240x240 px
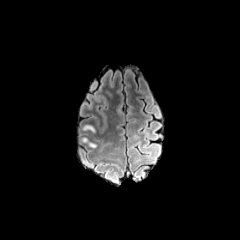
FLAIR MR image.
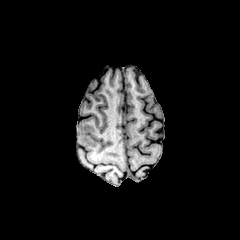
T1-weighted magnetic resonance of the same slice.
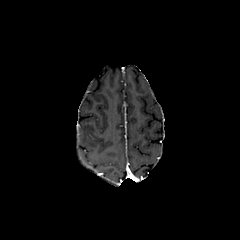
Same slice, post-contrast T1-weighted MRI.
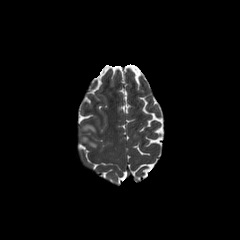
T2-weighted MR image of the same slice.
2 peritumoral edema regions are located at (82, 138, 96, 147), (83, 125, 94, 131).